Brain; Slice 102 of 155
FLAIR MRI.
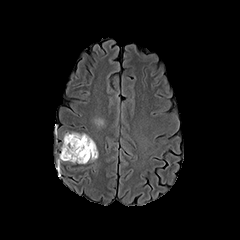
T1-weighted MR image.
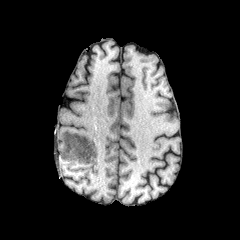
Post-contrast T1-weighted MR image.
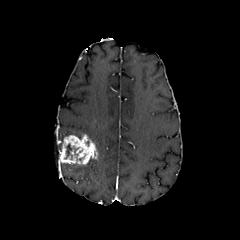
T2-weighted MR image.
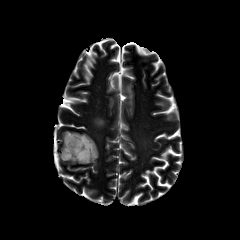
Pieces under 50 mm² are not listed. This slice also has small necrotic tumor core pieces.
<segmentation>
  <peritumoral_edema>{"x1": 94, "y1": 117, "x2": 104, "y2": 127}, {"x1": 64, "y1": 132, "x2": 84, "y2": 138}</peritumoral_edema>
  <enhancing_tumor>{"x1": 59, "y1": 134, "x2": 97, "y2": 164}</enhancing_tumor>
</segmentation>